Brain, Slice 89/155, Axial plane
FLAIR MR image.
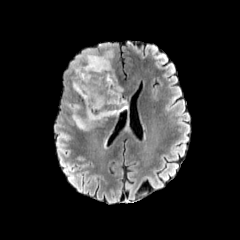
T1-weighted magnetic resonance.
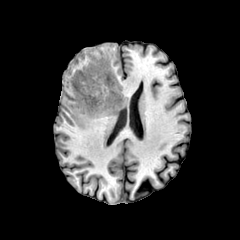
Post-contrast T1-weighted MR.
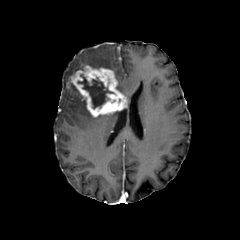
T2-weighted MRI.
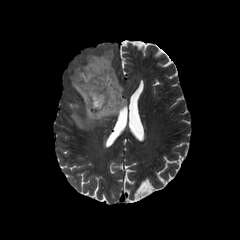
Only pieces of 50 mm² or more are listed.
enhancing_tumor:
  - x1=67 y1=65 x2=127 y2=117
necrotic_tumor_core:
  - x1=78 y1=75 x2=113 y2=108
peritumoral_edema:
  - x1=67 y1=84 x2=120 y2=130
  - x1=85 y1=49 x2=113 y2=70
  - x1=72 y1=61 x2=84 y2=72